Axial view; Head
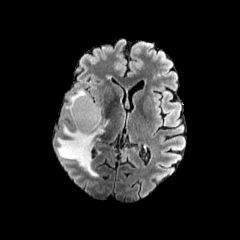
FLAIR MR.
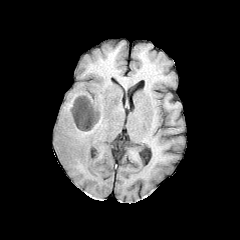
T1-weighted MRI.
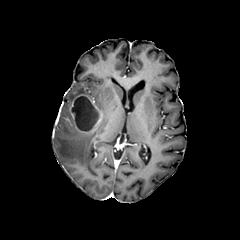
Same slice, post-contrast T1-weighted MR.
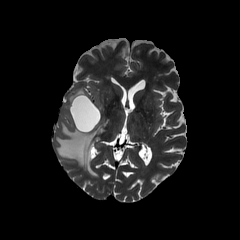
T2-weighted MR.
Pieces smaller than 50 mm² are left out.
necrotic tumor core: bounding box box=[71, 96, 98, 131]
enhancing tumor: bounding box box=[70, 94, 101, 133]
peritumoral edema: bounding box box=[65, 89, 89, 120]; box=[57, 120, 109, 177]